FLAIR MR image.
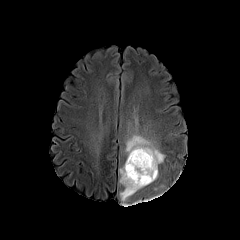
T1-weighted MR.
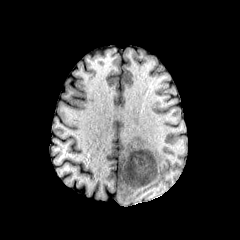
Post-contrast T1-weighted MR image.
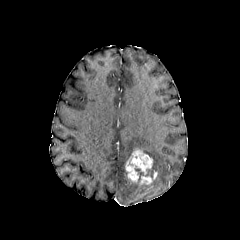
T2-weighted magnetic resonance.
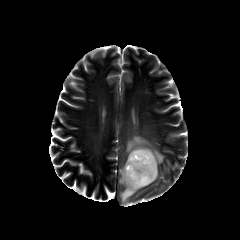
Brain; 240x240 px; Axial slice
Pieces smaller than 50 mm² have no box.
necrotic tumor core — box(145, 163, 154, 177)
enhancing tumor — box(125, 148, 157, 185)
peritumoral edema — box(125, 134, 164, 177); box(119, 164, 147, 203)